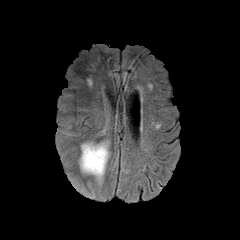
FLAIR MR.
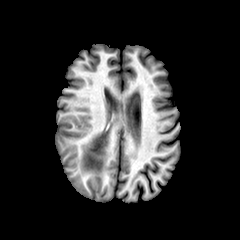
T1-weighted MR.
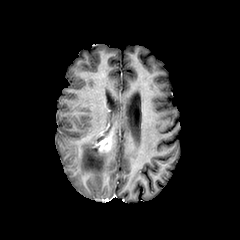
Same slice, post-contrast T1-weighted MR.
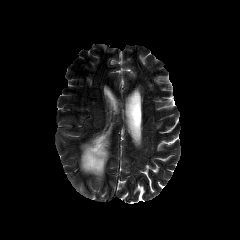
T2-weighted MRI.
The peritumoral edema is bounded by <bbox>79, 141, 109, 183</bbox>. The enhancing tumor is at <bbox>94, 138, 109, 152</bbox>.